FLAIR MR image.
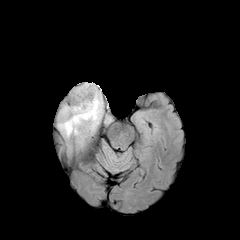
T1-weighted magnetic resonance.
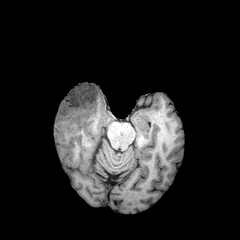
Post-contrast T1-weighted MRI.
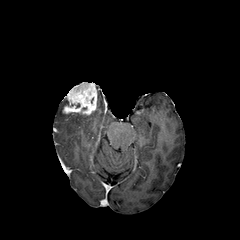
T2-weighted MR.
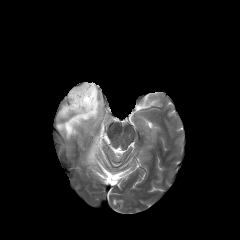
Head, 240x240
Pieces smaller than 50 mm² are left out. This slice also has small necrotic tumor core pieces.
enhancing tumor: bbox=[62, 82, 97, 115]
peritumoral edema: bbox=[57, 85, 103, 138]